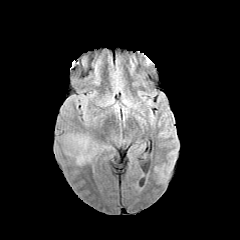
FLAIR magnetic resonance.
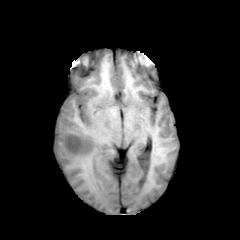
Same slice, T1-weighted MRI.
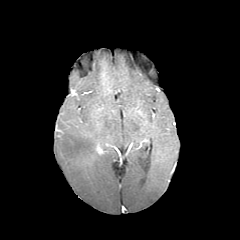
Post-contrast T1-weighted MR of the same slice.
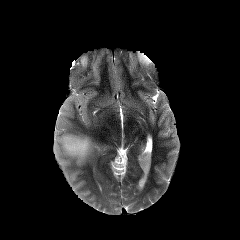
T2-weighted magnetic resonance.
Head; Image size 240x240
<segmentation>
  <peritumoral_edema>rect(64, 135, 94, 164)</peritumoral_edema>
</segmentation>